FLAIR MRI.
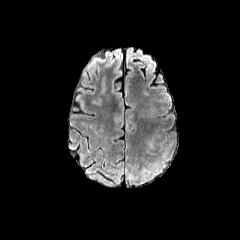
T1-weighted magnetic resonance.
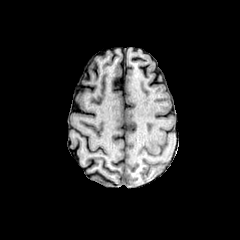
Post-contrast T1-weighted MR.
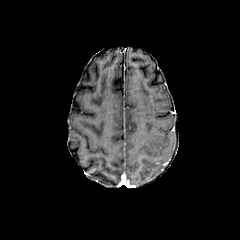
T2-weighted magnetic resonance.
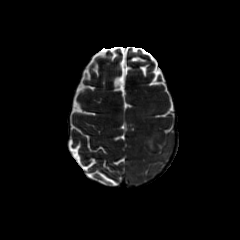
peritumoral edema at l=146, t=135, r=153, b=148